FLAIR MR image.
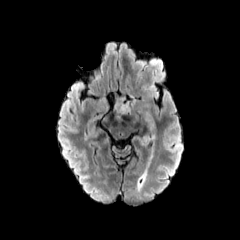
T1-weighted MR.
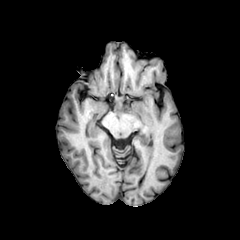
Post-contrast T1-weighted MR image.
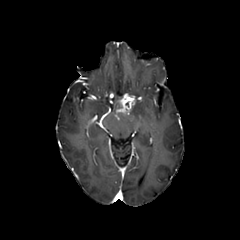
T2-weighted MR.
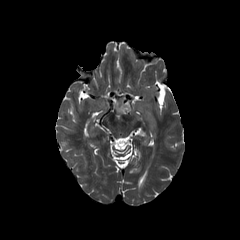
Axial plane.
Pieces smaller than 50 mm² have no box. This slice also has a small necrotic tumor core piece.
{"enhancing_tumor": ["115:93:135:119"], "peritumoral_edema": ["135:100:156:139", "141:135:148:146"]}